FLAIR MRI.
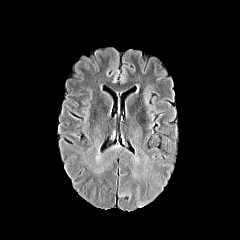
T1-weighted MRI.
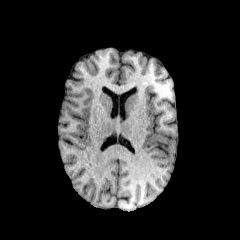
Post-contrast T1-weighted magnetic resonance.
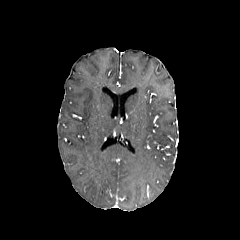
T2-weighted MR image.
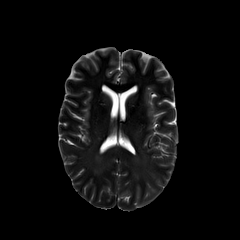
Head
peritumoral edema: x1=84 y1=127 x2=157 y2=181